Slice index 123, Image covers 240 mm x 240 mm
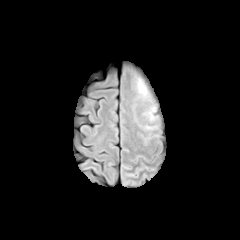
FLAIR magnetic resonance.
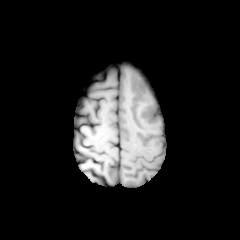
T1-weighted magnetic resonance.
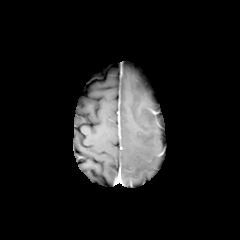
Post-contrast T1-weighted magnetic resonance.
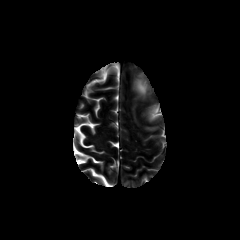
T2-weighted MR.
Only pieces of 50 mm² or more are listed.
peritumoral edema: (136,78,146,95)